FLAIR MRI.
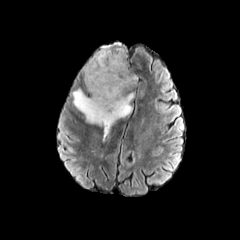
T1-weighted MRI.
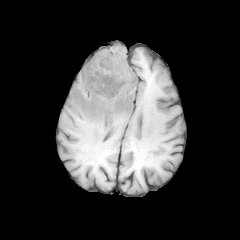
Post-contrast T1-weighted MR image.
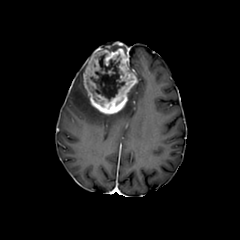
T2-weighted MRI.
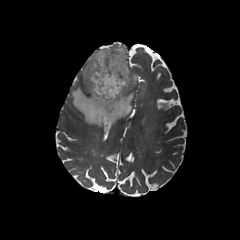
Head, Axial slice, Image size 240x240
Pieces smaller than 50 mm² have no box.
peritumoral_edema:
  - (x1=71, y1=87, x2=134, y2=141)
enhancing_tumor:
  - (x1=83, y1=42, x2=137, y2=114)
necrotic_tumor_core:
  - (x1=86, y1=53, x2=125, y2=107)